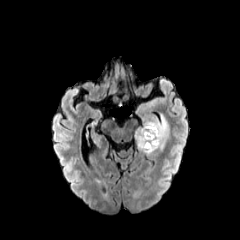
FLAIR MRI.
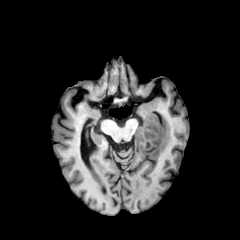
T1-weighted MR.
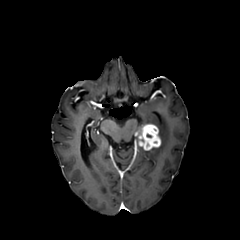
Post-contrast T1-weighted magnetic resonance of the same slice.
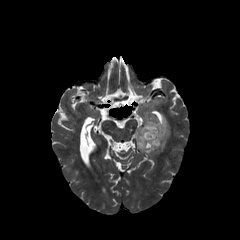
Same slice, T2-weighted MR image.
240x240 px | Brain
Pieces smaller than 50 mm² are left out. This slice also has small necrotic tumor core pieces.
The enhancing tumor is at [x1=135, y1=123, x2=160, y2=150]. The largest peritumoral edema region is at [x1=137, y1=115, x2=169, y2=155].